Image width 240 mm. Brain. Axial slice.
FLAIR magnetic resonance.
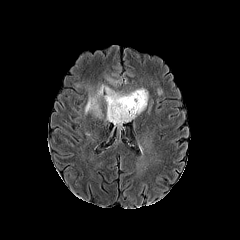
T1-weighted MR image.
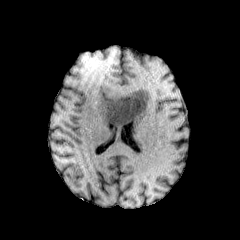
Post-contrast T1-weighted MR image.
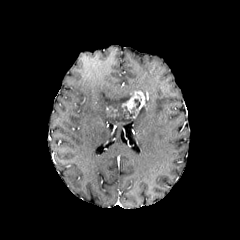
T2-weighted MRI.
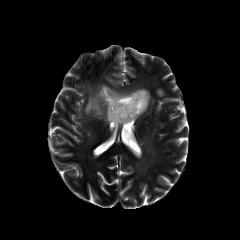
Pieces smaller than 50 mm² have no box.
The 2 largest peritumoral edema regions are bounded by [x1=85, y1=85, x2=133, y2=117], [x1=106, y1=114, x2=125, y2=128]. The largest necrotic tumor core region is bounded by [x1=106, y1=99, x2=140, y2=122]. The largest enhancing tumor region appears at [x1=122, y1=90, x2=148, y2=117].